FLAIR MRI.
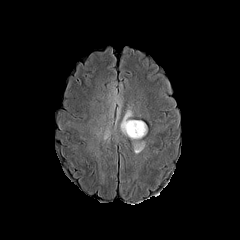
T1-weighted MR image.
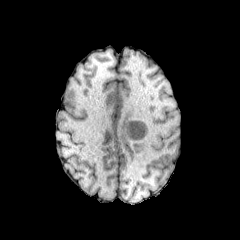
Post-contrast T1-weighted MRI.
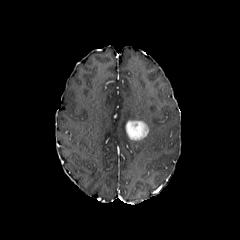
T2-weighted MRI.
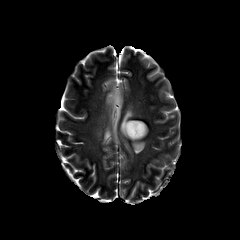
Axial plane. 240x240 px.
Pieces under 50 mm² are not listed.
peritumoral_edema:
  - x1=116, y1=101, x2=121, y2=124
  - x1=104, y1=126, x2=110, y2=139
  - x1=132, y1=141, x2=145, y2=153
  - x1=120, y1=107, x2=133, y2=136
enhancing_tumor:
  - x1=125, y1=120, x2=148, y2=140